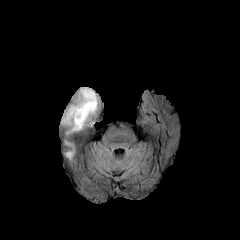
FLAIR MR image.
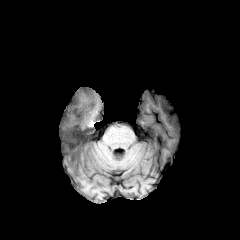
T1-weighted MR image of the same slice.
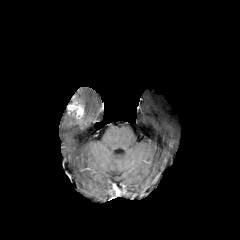
Same slice, post-contrast T1-weighted MR.
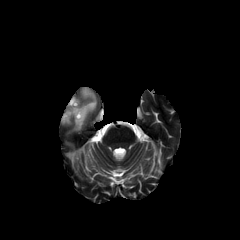
T2-weighted MR.
240x240 px
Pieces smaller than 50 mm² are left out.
enhancing tumor: bounding box x1=67, y1=96, x2=84, y2=122
peritumoral edema: bounding box x1=61, y1=87, x2=98, y2=133; x1=66, y1=151, x2=74, y2=158